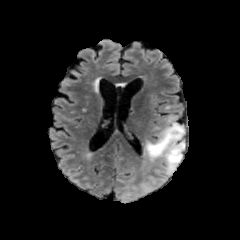
FLAIR MR.
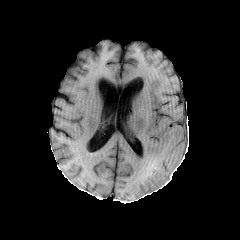
T1-weighted MRI.
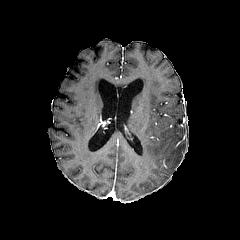
Post-contrast T1-weighted MR image of the same slice.
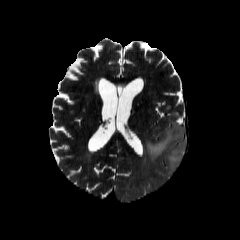
T2-weighted MRI.
Brain
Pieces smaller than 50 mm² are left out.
peritumoral edema at [144,122,185,171]